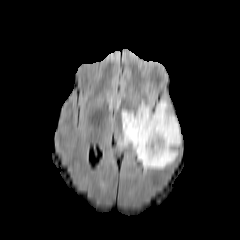
FLAIR magnetic resonance.
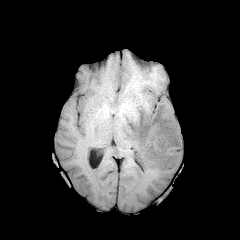
Same slice, T1-weighted MRI.
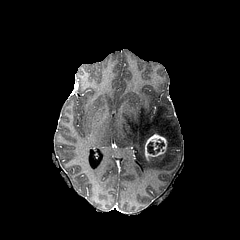
Post-contrast T1-weighted MR.
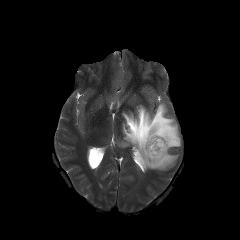
Same slice, T2-weighted MRI.
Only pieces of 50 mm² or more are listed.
{
  "enhancing_tumor": [
    "144, 134, 167, 160"
  ],
  "peritumoral_edema": [
    "119, 100, 180, 170"
  ],
  "necrotic_tumor_core": [
    "147, 141, 164, 154"
  ]
}